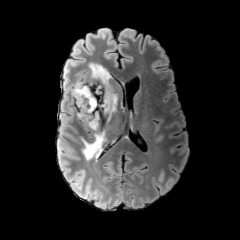
FLAIR MRI.
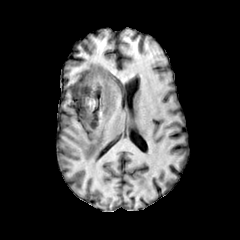
T1-weighted MR of the same slice.
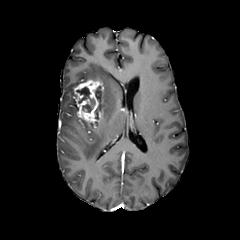
Post-contrast T1-weighted MRI.
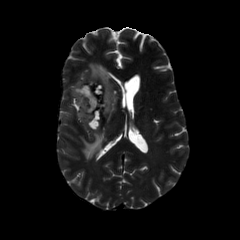
Same slice, T2-weighted magnetic resonance.
Axial plane | Brain
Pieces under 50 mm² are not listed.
The 2 largest peritumoral edema regions appear at <bbox>81, 131, 106, 159</bbox>, <bbox>74, 63, 118, 122</bbox>. The largest enhancing tumor region is located at <bbox>73, 77, 103, 128</bbox>. The 2 largest necrotic tumor core regions are located at <bbox>76, 87, 95, 112</bbox>, <bbox>94, 86, 101, 100</bbox>.